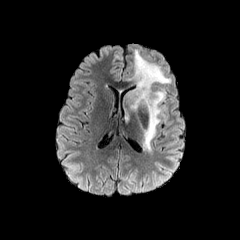
FLAIR MRI.
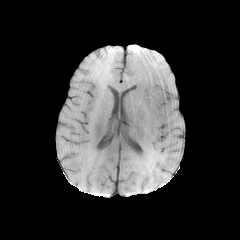
Same slice, T1-weighted MR.
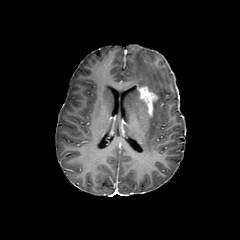
Post-contrast T1-weighted MR of the same slice.
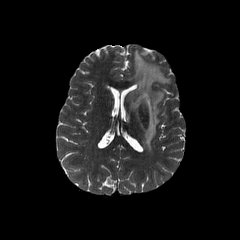
Same slice, T2-weighted MR.
Head
enhancing tumor: bounding box {"x1": 138, "y1": 85, "x2": 158, "y2": 117}
peritumoral edema: bounding box {"x1": 123, "y1": 50, "x2": 171, "y2": 151}